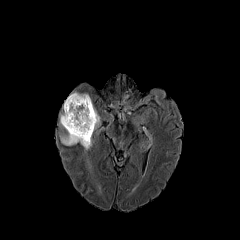
FLAIR MRI.
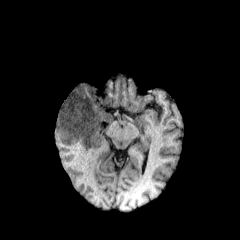
T1-weighted MR of the same slice.
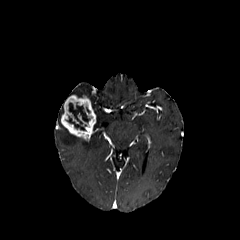
Post-contrast T1-weighted MRI.
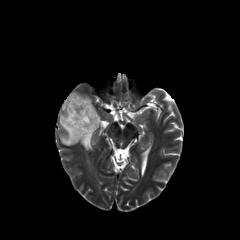
T2-weighted MRI of the same slice.
Image size 240x240. Head. Axial plane.
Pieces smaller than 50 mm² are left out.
{"enhancing_tumor": ["61:95:96:141"], "necrotic_tumor_core": ["67:103:90:130"], "peritumoral_edema": ["71:92:90:99", "92:103:100:129", "59:109:93:150"]}